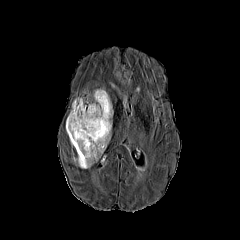
FLAIR MR image.
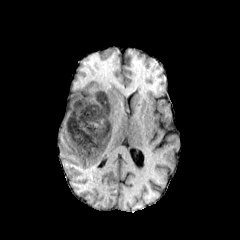
Same slice, T1-weighted MR image.
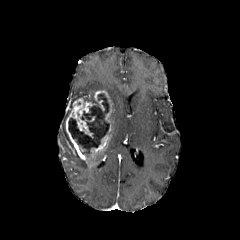
Post-contrast T1-weighted MR.
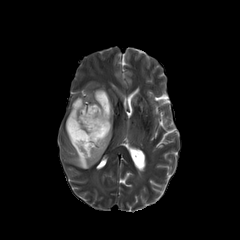
T2-weighted MR.
240x240. Axial view.
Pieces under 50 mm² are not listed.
peritumoral_edema:
  - bbox=[73, 155, 89, 168]
enhancing_tumor:
  - bbox=[66, 90, 113, 166]
necrotic_tumor_core:
  - bbox=[68, 94, 109, 155]